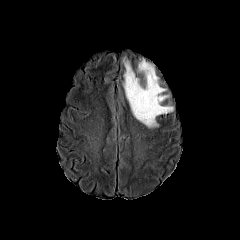
FLAIR MRI.
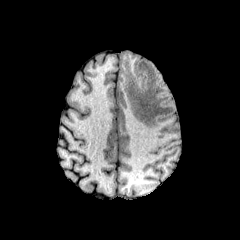
T1-weighted magnetic resonance of the same slice.
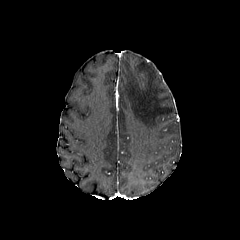
Same slice, post-contrast T1-weighted MR image.
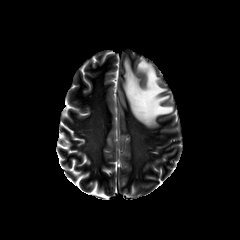
Same slice, T2-weighted MR.
The peritumoral edema appears at l=123, t=59, r=173, b=128.